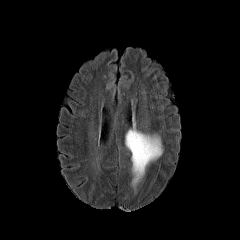
FLAIR MR image.
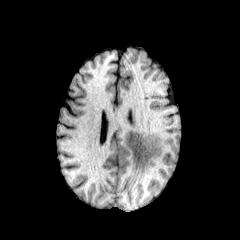
Same slice, T1-weighted magnetic resonance.
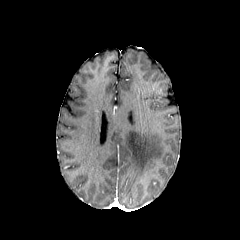
Post-contrast T1-weighted MR.
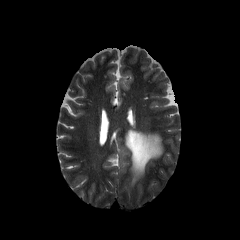
Same slice, T2-weighted MRI.
Axial plane
peritumoral_edema:
  - l=125, t=128, r=163, b=186